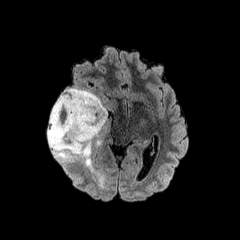
FLAIR MR image.
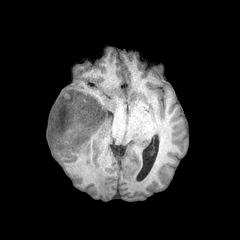
Same slice, T1-weighted magnetic resonance.
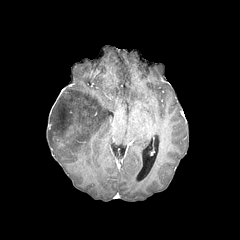
Same slice, post-contrast T1-weighted MRI.
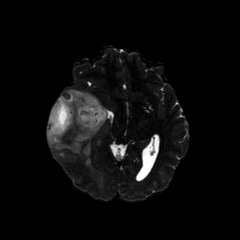
Same slice, T2-weighted magnetic resonance.
Axial view; Brain
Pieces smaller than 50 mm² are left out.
enhancing tumor: bounding box left=56, top=138, right=64, bottom=146
peritumoral edema: bounding box left=47, top=88, right=107, bottom=167